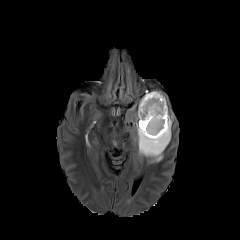
FLAIR MR.
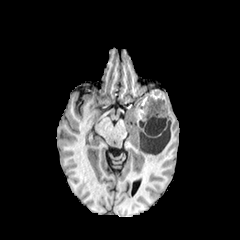
T1-weighted MR of the same slice.
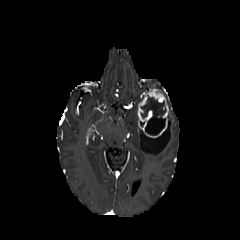
Same slice, post-contrast T1-weighted magnetic resonance.
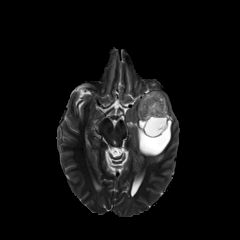
T2-weighted magnetic resonance of the same slice.
Image size 240x240; Head; Axial plane
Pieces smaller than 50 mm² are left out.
Findings:
• necrotic tumor core: 141, 97, 165, 135
• peritumoral edema: 125, 105, 173, 162
• enhancing tumor: 137, 89, 169, 137